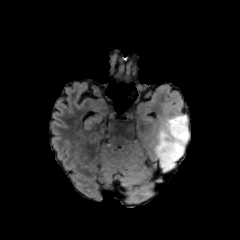
FLAIR magnetic resonance.
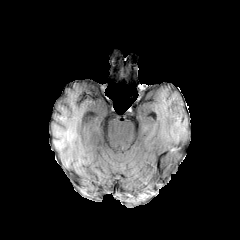
Same slice, T1-weighted MR.
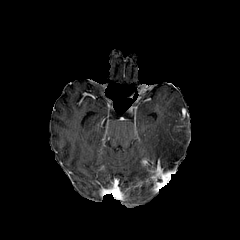
Post-contrast T1-weighted MR image.
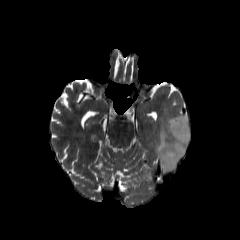
T2-weighted MR.
The enhancing tumor is bounded by region(174, 115, 184, 131). The peritumoral edema appears at region(153, 114, 189, 172).